Slice index 64. Axial slice. Brain.
FLAIR magnetic resonance.
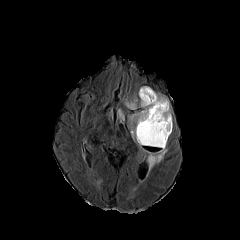
T1-weighted magnetic resonance.
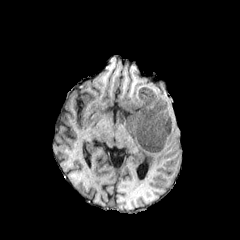
Post-contrast T1-weighted MR image.
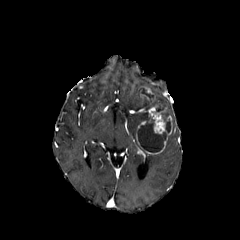
T2-weighted MR image.
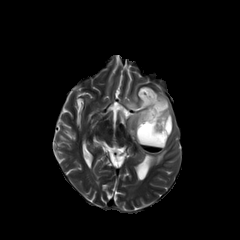
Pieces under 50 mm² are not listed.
enhancing tumor at <bbox>140, 87, 155, 102</bbox>, <bbox>136, 104, 172, 154</bbox>
peritumoral edema at <bbox>129, 111, 148, 136</bbox>, <bbox>147, 148, 167, 170</bbox>, <bbox>125, 87, 171, 120</bbox>
necrotic tumor core at <bbox>166, 119, 170, 132</bbox>, <bbox>137, 119, 166, 152</bbox>, <bbox>142, 89, 154, 98</bbox>